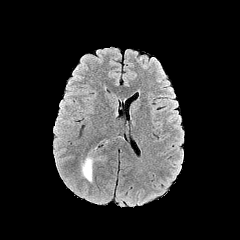
FLAIR MR image.
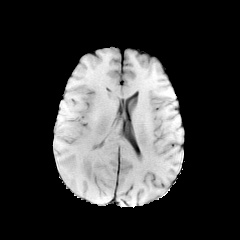
T1-weighted MR of the same slice.
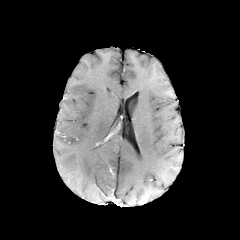
Post-contrast T1-weighted MRI of the same slice.
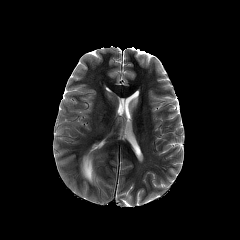
T2-weighted magnetic resonance.
Brain
peritumoral edema: bounding box (80, 150, 100, 183)